Axial plane; 240x240; Image covers 240 mm x 240 mm
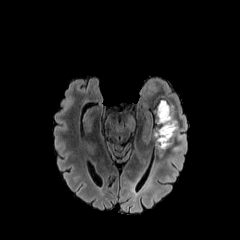
FLAIR magnetic resonance.
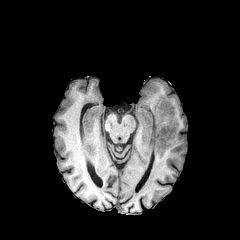
T1-weighted MR image of the same slice.
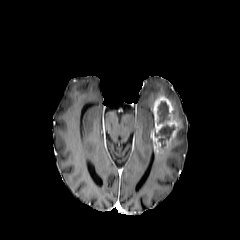
Post-contrast T1-weighted MR.
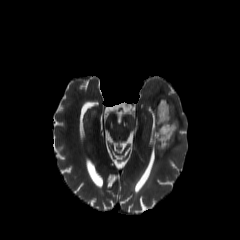
T2-weighted MR of the same slice.
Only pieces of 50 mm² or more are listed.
2 necrotic tumor core regions are located at {"x1": 158, "y1": 102, "x2": 169, "y2": 123}, {"x1": 155, "y1": 125, "x2": 174, "y2": 147}. The largest peritumoral edema region is at {"x1": 151, "y1": 90, "x2": 187, "y2": 161}. The enhancing tumor is located at {"x1": 151, "y1": 96, "x2": 179, "y2": 152}.